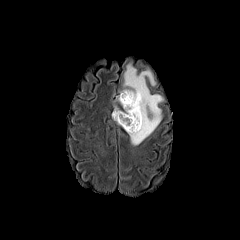
FLAIR MR image.
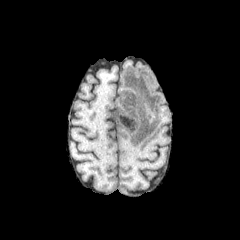
T1-weighted magnetic resonance of the same slice.
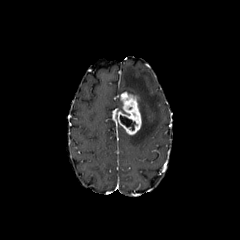
Same slice, post-contrast T1-weighted MRI.
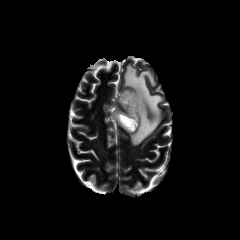
T2-weighted MR image of the same slice.
Axial slice | Head
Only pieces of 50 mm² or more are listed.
- enhancing tumor: 112 92 141 134
- peritumoral edema: 120 61 165 145
- necrotic tumor core: 120 115 135 130